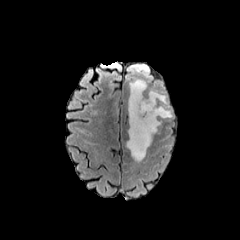
FLAIR MR image.
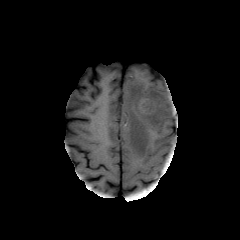
T1-weighted magnetic resonance.
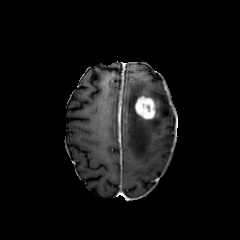
Post-contrast T1-weighted MRI.
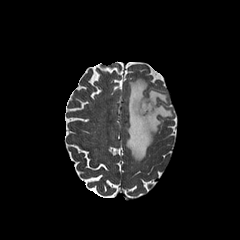
T2-weighted MR image.
{"enhancing_tumor": ["x1=135 y1=96 x2=155 y2=119"], "peritumoral_edema": ["x1=126 y1=78 x2=172 y2=161"]}